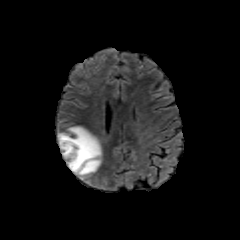
FLAIR magnetic resonance.
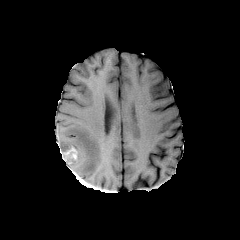
T1-weighted MR image.
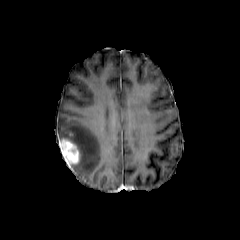
Same slice, post-contrast T1-weighted MR.
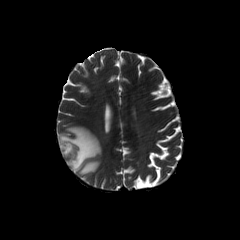
T2-weighted MR image.
240x240
The enhancing tumor appears at region(59, 138, 80, 170). The peritumoral edema is located at region(58, 126, 102, 182).